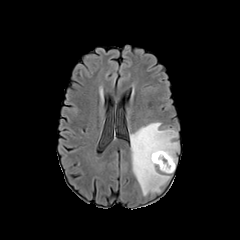
FLAIR magnetic resonance.
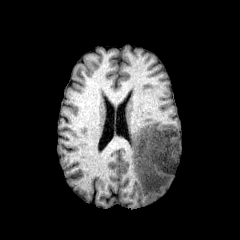
T1-weighted MR of the same slice.
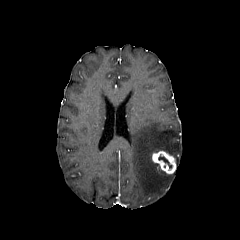
Same slice, post-contrast T1-weighted magnetic resonance.
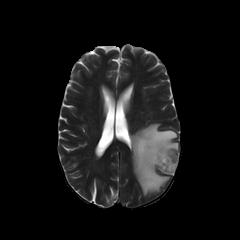
T2-weighted MRI.
Head
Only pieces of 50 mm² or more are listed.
Annotated regions:
* peritumoral edema: 130:122:179:195
* necrotic tumor core: 158:155:172:168
* enhancing tumor: 152:150:176:173